Head, Axial slice
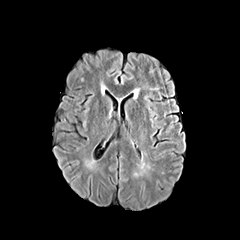
FLAIR MR.
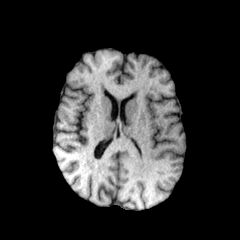
T1-weighted MR of the same slice.
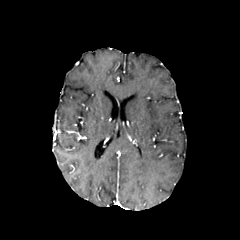
Post-contrast T1-weighted MRI.
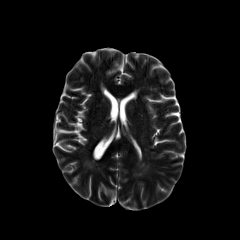
T2-weighted MR image.
{"peritumoral_edema": ["left=135, top=161, right=149, bottom=175"]}